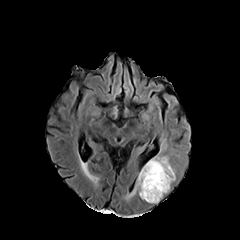
FLAIR MRI.
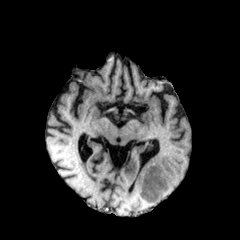
Same slice, T1-weighted MRI.
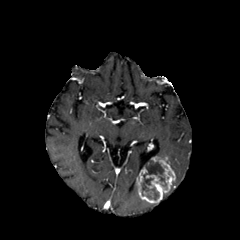
Post-contrast T1-weighted MR image.
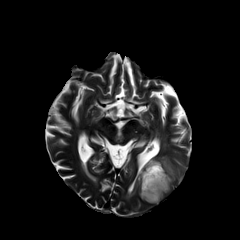
T2-weighted magnetic resonance of the same slice.
Axial plane
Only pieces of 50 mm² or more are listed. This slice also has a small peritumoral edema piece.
The enhancing tumor is at x1=136, y1=156, x2=175, y2=203. The 2 largest necrotic tumor core regions are located at x1=151, y1=187, x2=158, y2=199; x1=142, y1=161, x2=166, y2=191.